Slice 77 of 155; Brain
FLAIR MR image.
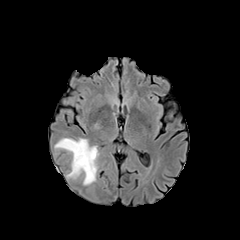
T1-weighted MR.
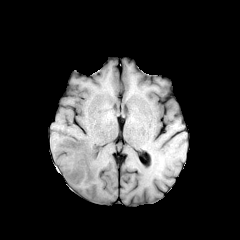
Post-contrast T1-weighted MR image.
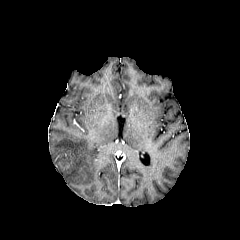
T2-weighted MR image.
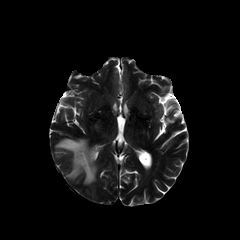
peritumoral edema: box=[55, 138, 97, 184]